FLAIR magnetic resonance.
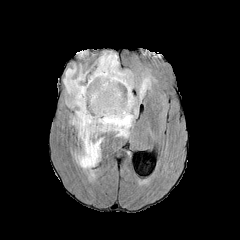
T1-weighted MR image.
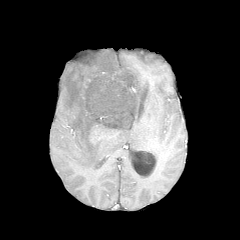
Post-contrast T1-weighted MR.
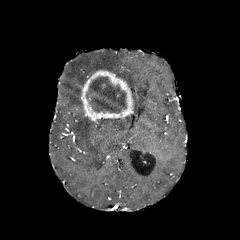
T2-weighted MR.
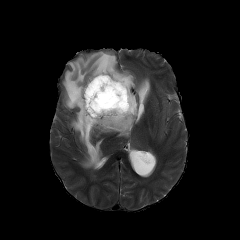
Axial slice, Head, 240x240
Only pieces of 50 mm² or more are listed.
The necrotic tumor core appears at (left=87, top=76, right=126, bottom=112). The largest enhancing tumor region is bounded by (left=81, top=70, right=133, bottom=121). The largest peritumoral edema region lies within (left=63, top=51, right=149, bottom=168).